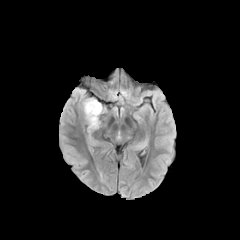
FLAIR MRI.
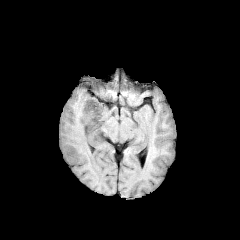
T1-weighted MR image.
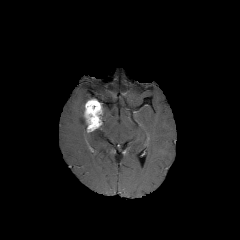
Post-contrast T1-weighted MRI.
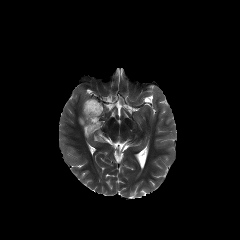
T2-weighted MR.
Brain, 240x240 px, Axial view
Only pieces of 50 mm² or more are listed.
peritumoral edema = 77, 98, 87, 125
enhancing tumor = 81, 97, 104, 132